FLAIR MRI.
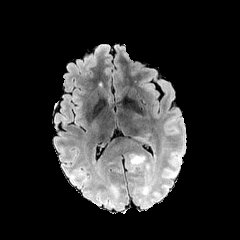
T1-weighted MRI.
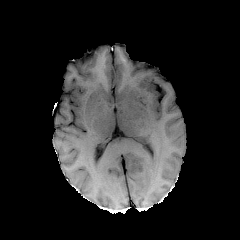
Post-contrast T1-weighted magnetic resonance.
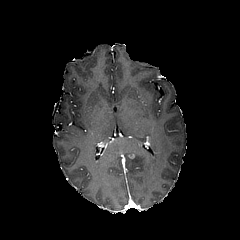
T2-weighted MRI.
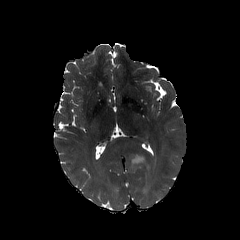
240x240.
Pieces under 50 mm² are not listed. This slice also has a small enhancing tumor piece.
<segmentation>
  <peritumoral_edema>[x1=130, y1=155, x2=149, y2=170]</peritumoral_edema>
</segmentation>